FLAIR magnetic resonance.
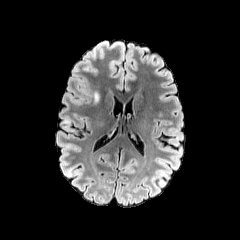
T1-weighted MR.
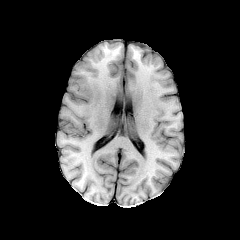
Post-contrast T1-weighted MR image.
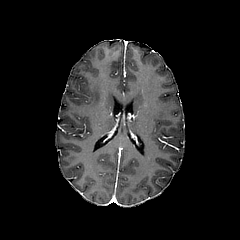
T2-weighted MRI.
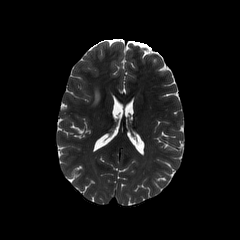
Axial view | Image size 240x240
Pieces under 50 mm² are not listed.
The largest peritumoral edema region is bounded by [94, 90, 99, 104].